Slice 85/155.
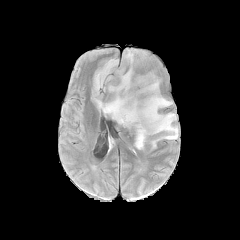
FLAIR MR.
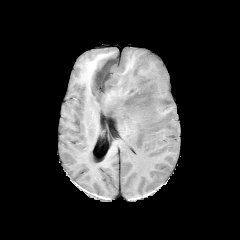
T1-weighted MR image.
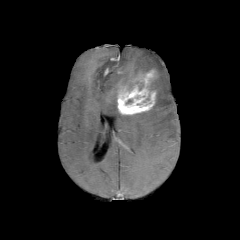
Post-contrast T1-weighted MR image of the same slice.
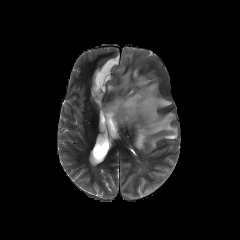
Same slice, T2-weighted MRI.
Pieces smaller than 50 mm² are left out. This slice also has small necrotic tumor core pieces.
Segmented structures:
* enhancing tumor: box(117, 70, 156, 114)
* peritumoral edema: box(92, 49, 178, 149)